FLAIR magnetic resonance.
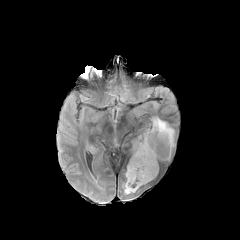
T1-weighted MRI.
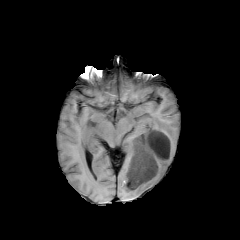
Post-contrast T1-weighted MR.
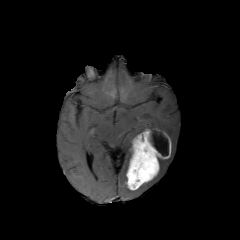
T2-weighted MR.
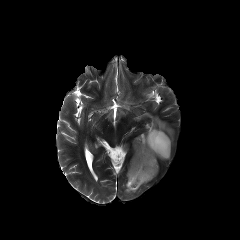
Axial view; 240x240 px
2 peritumoral edema regions are bounded by [124,184,136,194], [152,118,173,145]. The enhancing tumor is bounded by [126,128,171,190]. The necrotic tumor core appears at [151,131,168,156].